Head, Axial slice, 240x240
FLAIR MRI.
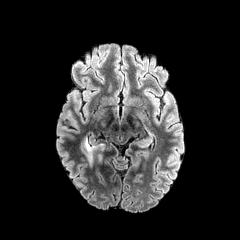
T1-weighted MR.
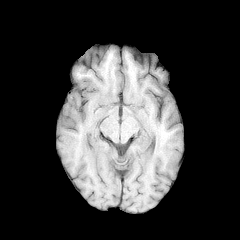
Post-contrast T1-weighted MR image.
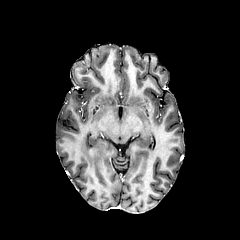
T2-weighted MR.
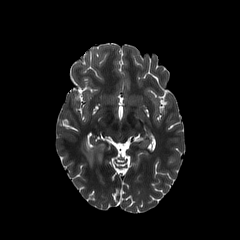
Annotated regions:
• enhancing tumor: bbox=[88, 149, 96, 157]
• peritumoral edema: bbox=[80, 136, 105, 167]